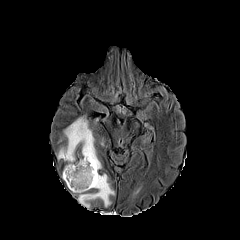
FLAIR magnetic resonance.
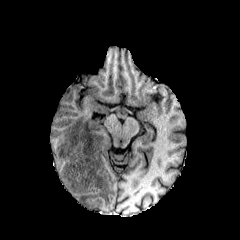
Same slice, T1-weighted magnetic resonance.
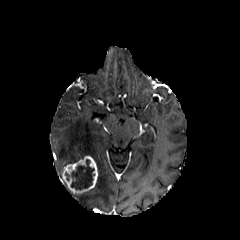
Post-contrast T1-weighted MR image.
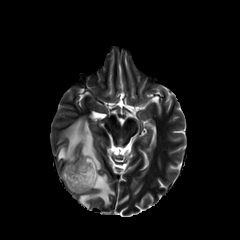
T2-weighted MR of the same slice.
240x240
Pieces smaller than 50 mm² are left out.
Annotated regions:
- enhancing tumor: {"x1": 62, "y1": 156, "x2": 98, "y2": 194}
- peritumoral edema: {"x1": 57, "y1": 116, "x2": 101, "y2": 169}, {"x1": 78, "y1": 174, "x2": 114, "y2": 208}
- necrotic tumor core: {"x1": 71, "y1": 159, "x2": 94, "y2": 190}